FLAIR MRI.
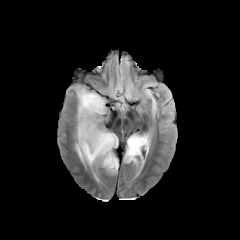
T1-weighted MR image.
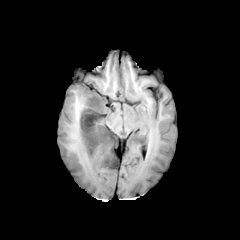
Post-contrast T1-weighted MR.
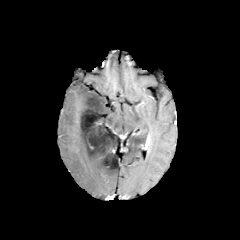
T2-weighted MRI.
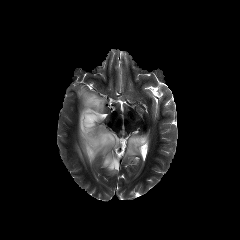
Head, Axial slice
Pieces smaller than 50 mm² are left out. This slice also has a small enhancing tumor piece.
peritumoral edema — [x1=76, y1=88, x2=117, y2=172], [x1=125, y1=134, x2=148, y2=162]
necrotic tumor core — [x1=105, y1=155, x2=118, y2=168], [x1=80, y1=96, x2=115, y2=152]